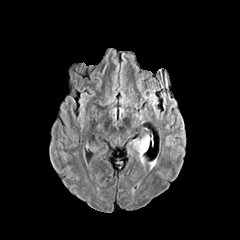
FLAIR MR image.
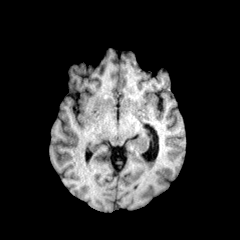
Same slice, T1-weighted MR.
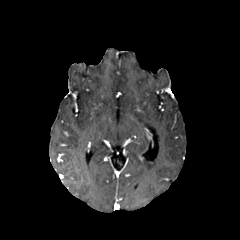
Post-contrast T1-weighted magnetic resonance.
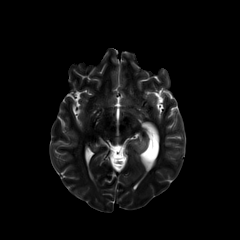
T2-weighted magnetic resonance.
Axial slice | Head | 240x240
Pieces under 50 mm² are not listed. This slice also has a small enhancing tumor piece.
peritumoral_edema:
  - l=133, t=139, r=148, b=155